Head. Axial slice. Slice 109 of 155.
FLAIR MRI.
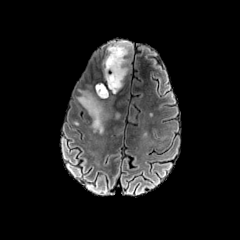
T1-weighted magnetic resonance.
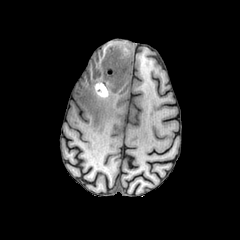
Post-contrast T1-weighted MR image.
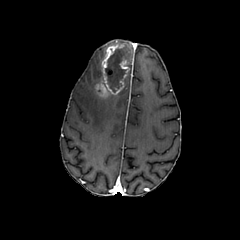
T2-weighted MRI.
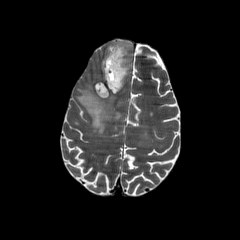
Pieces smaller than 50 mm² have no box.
Findings:
* peritumoral edema: [76,89,120,133]
* enhancing tumor: [95,41,131,97]
* necrotic tumor core: [105,45,130,92]